Axial slice | Brain
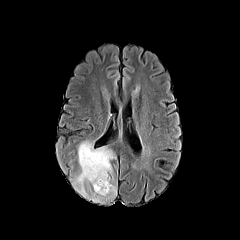
FLAIR MR.
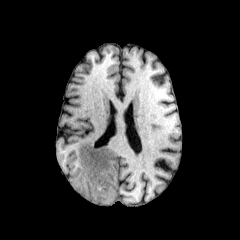
T1-weighted MR image of the same slice.
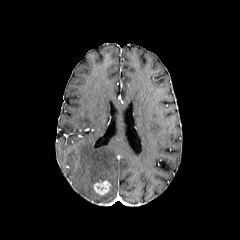
Post-contrast T1-weighted MRI of the same slice.
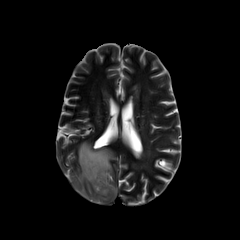
T2-weighted magnetic resonance.
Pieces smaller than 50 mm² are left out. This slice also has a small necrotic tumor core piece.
Annotated regions:
• peritumoral edema: region(73, 141, 116, 202)
• enhancing tumor: region(93, 180, 110, 195)